Brain, Slice index 64, Axial slice
FLAIR MR image.
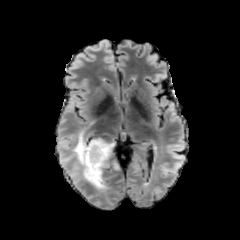
T1-weighted MRI.
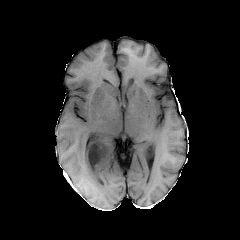
Post-contrast T1-weighted MR image.
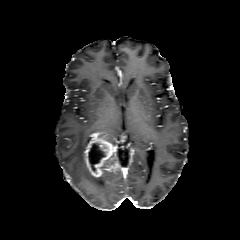
T2-weighted magnetic resonance.
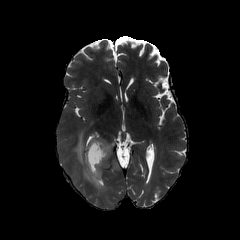
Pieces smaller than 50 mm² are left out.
necrotic tumor core: bounding box (88,143,105,171)
enhancing tumor: bounding box (84,133,119,177)
peritumoral edema: bounding box (73,130,105,189)